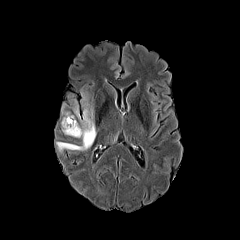
FLAIR magnetic resonance.
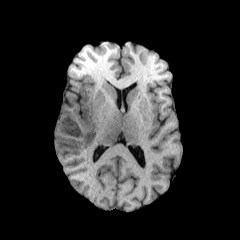
T1-weighted magnetic resonance of the same slice.
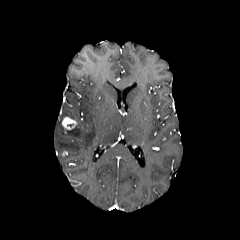
Post-contrast T1-weighted MR.
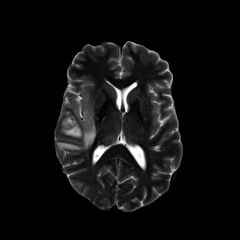
T2-weighted magnetic resonance.
Axial slice
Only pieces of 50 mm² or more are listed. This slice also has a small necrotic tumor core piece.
enhancing tumor: bounding box [62,116,77,129]
peritumoral edema: bounding box [56,94,96,151]